240x240. Slice 86 of 155. Head. Axial plane.
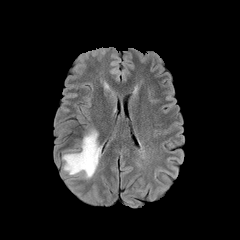
FLAIR MR image.
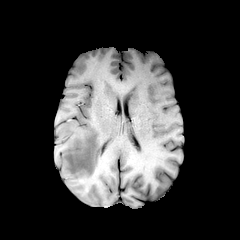
T1-weighted MRI.
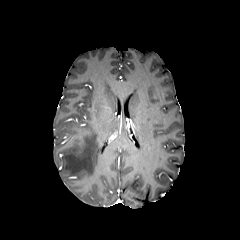
Same slice, post-contrast T1-weighted MRI.
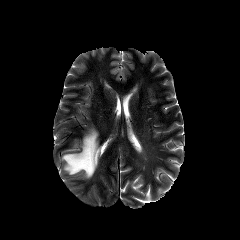
T2-weighted MR of the same slice.
The peritumoral edema is bounded by {"x1": 62, "y1": 129, "x2": 101, "y2": 178}.